FLAIR MRI.
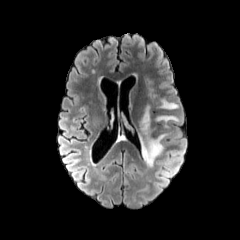
T1-weighted MR.
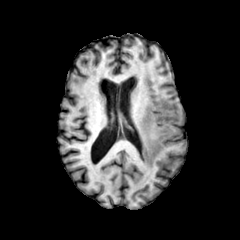
Post-contrast T1-weighted magnetic resonance.
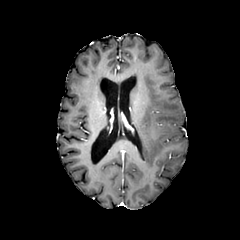
T2-weighted MR.
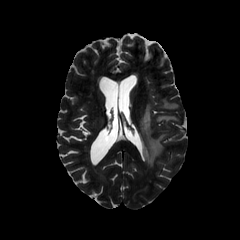
Head | Axial plane
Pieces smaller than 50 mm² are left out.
The 3 largest peritumoral edema regions are located at [159, 99, 178, 109], [155, 115, 179, 122], [138, 105, 167, 166].